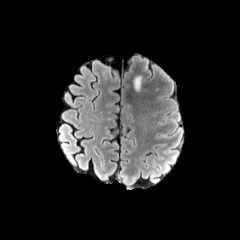
FLAIR MR.
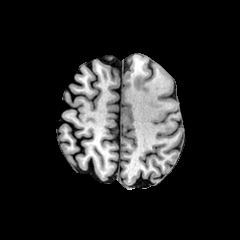
T1-weighted magnetic resonance.
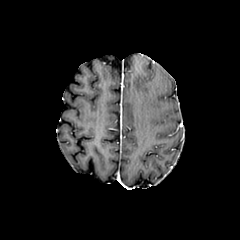
Post-contrast T1-weighted MR.
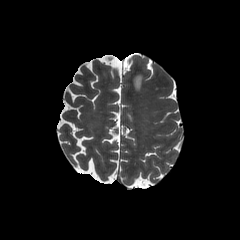
T2-weighted MR.
240x240 px | Head
{
  "peritumoral_edema": [
    "x1=133, y1=75, x2=142, y2=91"
  ]
}